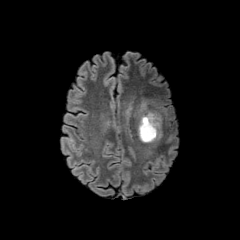
FLAIR MRI.
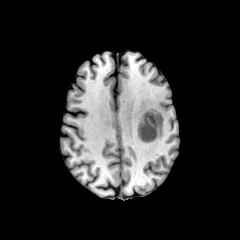
T1-weighted MRI.
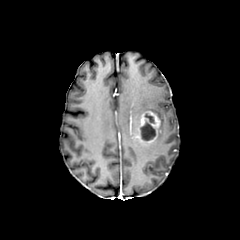
Post-contrast T1-weighted MR.
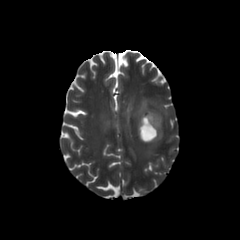
T2-weighted MR image of the same slice.
240x240, Axial view
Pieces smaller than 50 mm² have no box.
<segmentation>
  <peritumoral_edema>box(140, 102, 162, 141)</peritumoral_edema>
  <necrotic_tumor_core>box(145, 114, 154, 123); box(141, 121, 155, 140)</necrotic_tumor_core>
  <enhancing_tumor>box(138, 111, 160, 142)</enhancing_tumor>
</segmentation>